Axial plane; Image covers 240 mm x 240 mm
FLAIR MR.
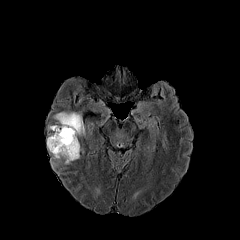
T1-weighted magnetic resonance.
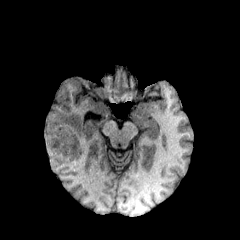
Post-contrast T1-weighted MR image.
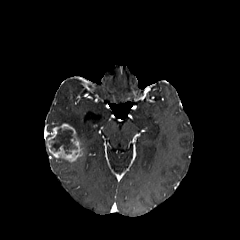
T2-weighted magnetic resonance.
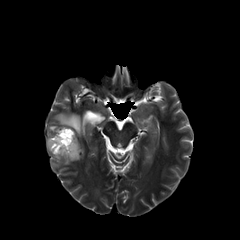
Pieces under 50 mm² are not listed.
Annotated regions:
- enhancing tumor: x1=47 y1=123 x2=83 y2=162
- peritumoral edema: x1=53 y1=112 x2=85 y2=136, x1=51 y1=158 x2=70 y2=168
- necrotic tumor core: x1=50 y1=128 x2=77 y2=153